FLAIR MR.
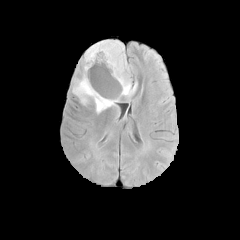
T1-weighted MRI.
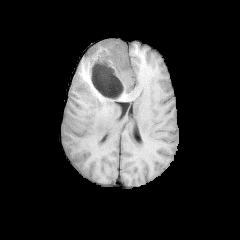
Post-contrast T1-weighted MR.
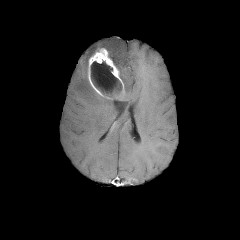
T2-weighted MR image.
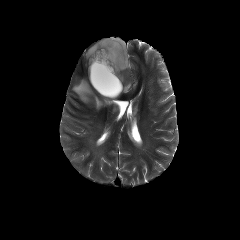
Image size 240x240. Head.
<segmentation>
  <peritumoral_edema>bbox(85, 40, 136, 94); bbox(72, 77, 117, 114)</peritumoral_edema>
  <enhancing_tumor>bbox(88, 47, 124, 100)</enhancing_tumor>
  <necrotic_tumor_core>bbox(91, 61, 121, 95)</necrotic_tumor_core>
</segmentation>